Head | 240x240 | Slice index 74
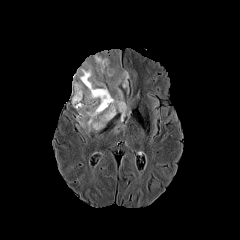
FLAIR MR image.
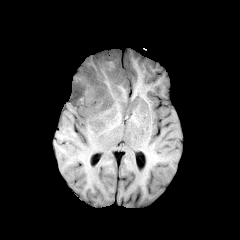
T1-weighted MR image of the same slice.
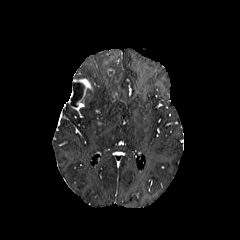
Post-contrast T1-weighted magnetic resonance.
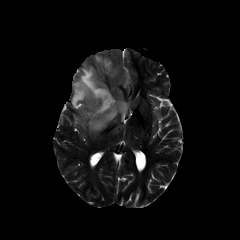
Same slice, T2-weighted MRI.
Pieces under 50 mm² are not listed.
Segmented structures:
- peritumoral edema: {"x1": 75, "y1": 49, "x2": 130, "y2": 132}
- enhancing tumor: {"x1": 72, "y1": 78, "x2": 92, "y2": 110}
- necrotic tumor core: {"x1": 71, "y1": 82, "x2": 84, "y2": 106}